240x240
FLAIR MRI.
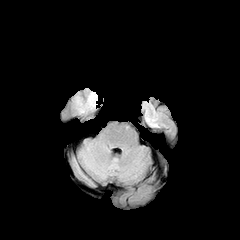
T1-weighted MRI.
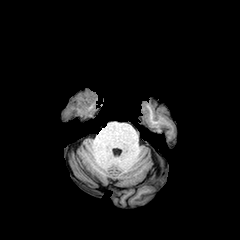
Post-contrast T1-weighted magnetic resonance.
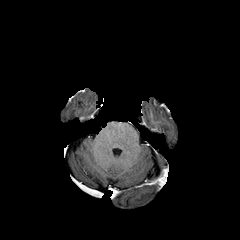
T2-weighted magnetic resonance.
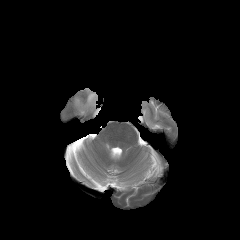
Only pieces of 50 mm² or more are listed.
The largest peritumoral edema region lies within region(87, 91, 97, 107).